FLAIR MRI.
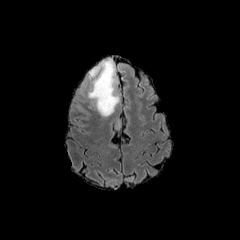
T1-weighted MR.
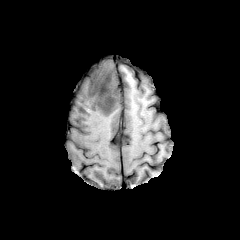
Post-contrast T1-weighted MRI.
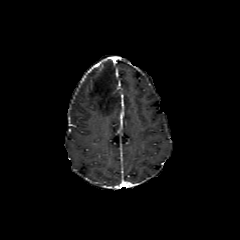
T2-weighted MR.
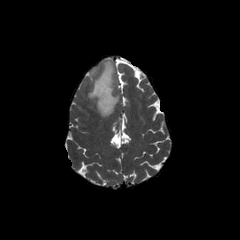
240x240; Brain
{"peritumoral_edema": ["87,59,119,116"]}